FLAIR MRI.
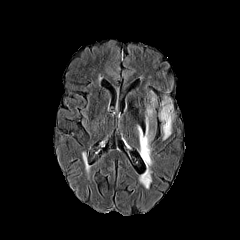
T1-weighted MRI.
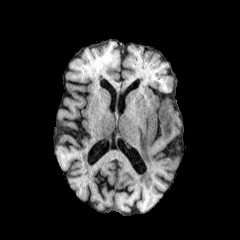
Post-contrast T1-weighted MR image.
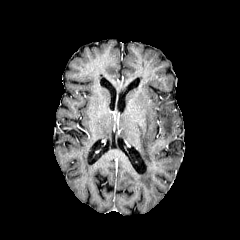
T2-weighted MR.
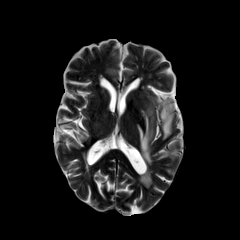
Head, Image size 240x240
peritumoral_edema:
  - [159,97,173,139]
  - [137,106,153,167]